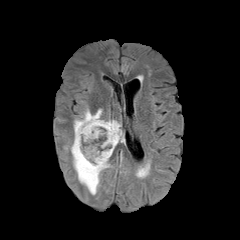
FLAIR MR image.
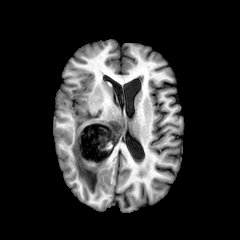
T1-weighted MR.
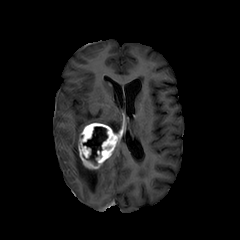
Post-contrast T1-weighted MR.
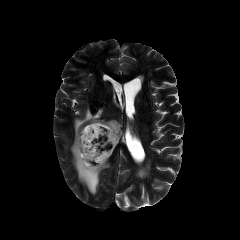
T2-weighted MR image.
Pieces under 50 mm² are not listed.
Annotated regions:
• peritumoral edema: (70,107,121,194)
• enhancing tumor: (78,123,120,169)
• necrotic tumor core: (83,127,107,164)